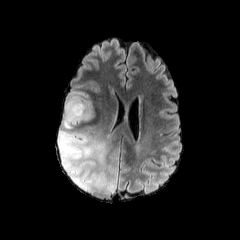
FLAIR MR.
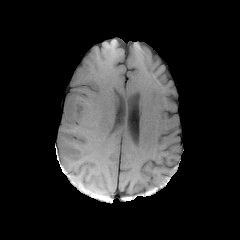
T1-weighted MRI.
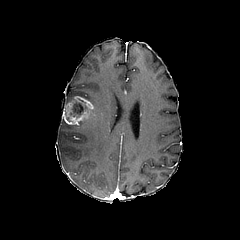
Same slice, post-contrast T1-weighted MR image.
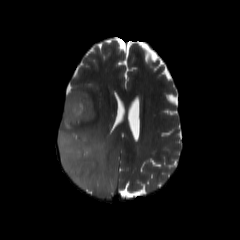
Same slice, T2-weighted MR image.
Brain, 240x240 px
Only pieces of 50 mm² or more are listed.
- necrotic tumor core: 70:98:87:116
- peritumoral edema: 65:92:92:104, 58:107:117:195
- enhancing tumor: 63:96:93:125